Image width 240 mm, 1.00 mm slice spacing. Axial slice.
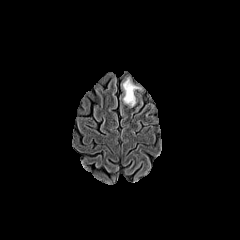
FLAIR MR image.
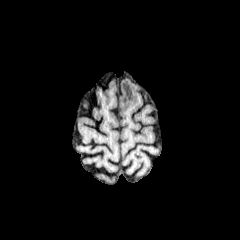
Same slice, T1-weighted MRI.
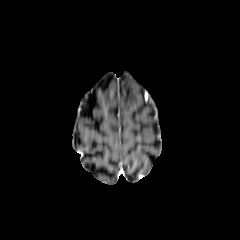
Post-contrast T1-weighted MR image of the same slice.
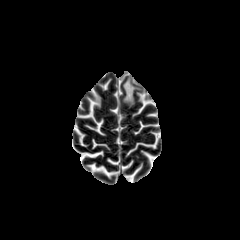
T2-weighted MR image of the same slice.
The peritumoral edema is bounded by 123 78 139 106.